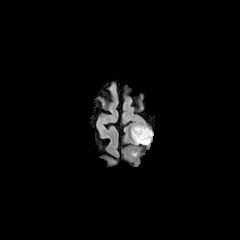
FLAIR MR.
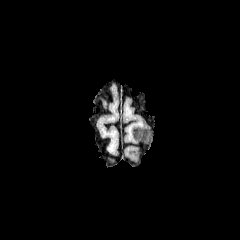
Same slice, T1-weighted magnetic resonance.
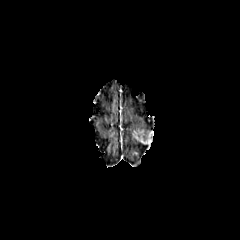
Post-contrast T1-weighted MRI.
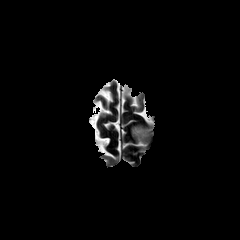
Same slice, T2-weighted MR.
Head
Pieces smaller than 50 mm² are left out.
enhancing tumor at (132,128,153,144)
peritumoral edema at (131,124,149,134)